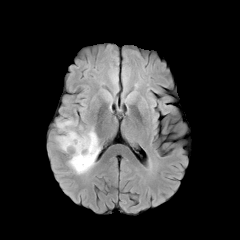
FLAIR MR image.
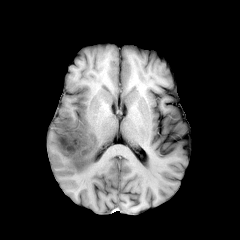
T1-weighted MRI of the same slice.
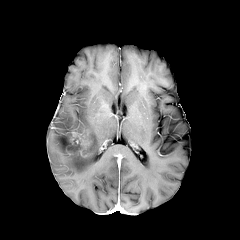
Post-contrast T1-weighted MR image.
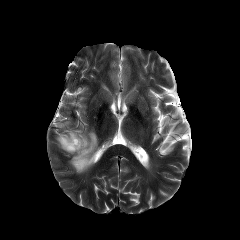
T2-weighted MR image.
Head.
enhancing tumor: <box>67,131,93,156</box> | peritumoral edema: <box>56,119,100,174</box>